FLAIR MR image.
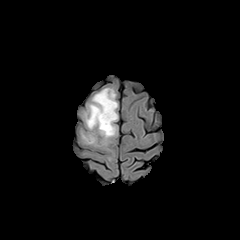
T1-weighted magnetic resonance.
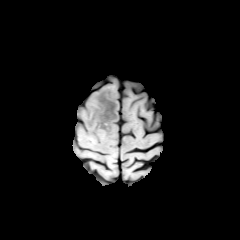
Post-contrast T1-weighted MR.
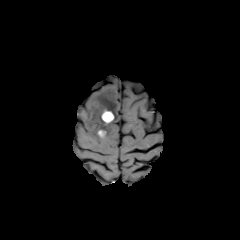
T2-weighted magnetic resonance.
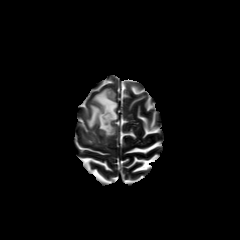
Brain, Axial plane
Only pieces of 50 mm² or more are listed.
Annotated regions:
* peritumoral edema: {"x1": 82, "y1": 133, "x2": 96, "y2": 144}, {"x1": 84, "y1": 88, "x2": 118, "y2": 144}
* enhancing tumor: {"x1": 101, "y1": 110, "x2": 114, "y2": 123}